Head | Image width 240 mm, 1.00 mm slice spacing | 240x240
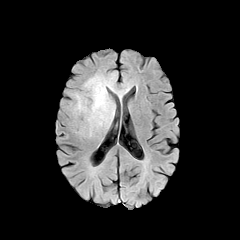
FLAIR MR.
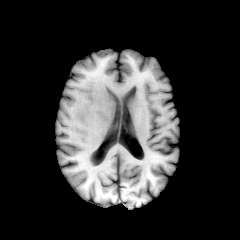
T1-weighted MRI.
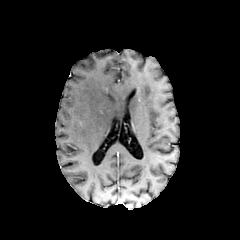
Same slice, post-contrast T1-weighted magnetic resonance.
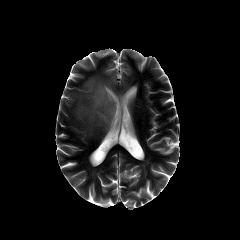
T2-weighted magnetic resonance.
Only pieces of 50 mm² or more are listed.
peritumoral edema = [77,76,115,127]